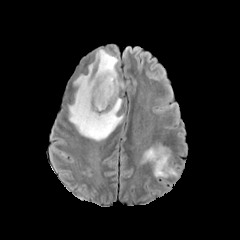
FLAIR MR image.
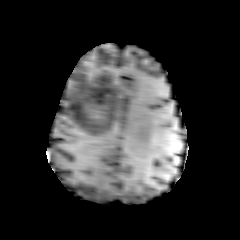
T1-weighted MRI.
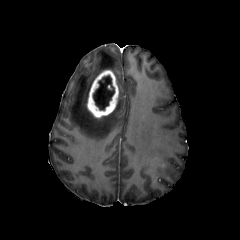
Post-contrast T1-weighted MRI of the same slice.
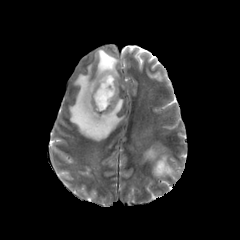
T2-weighted MR of the same slice.
240x240 px
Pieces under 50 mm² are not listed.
The necrotic tumor core appears at bbox=[93, 76, 114, 110]. The largest enhancing tumor region appears at bbox=[87, 70, 118, 118]. 2 peritumoral edema regions appear at bbox=[69, 49, 124, 140]; bbox=[142, 145, 177, 177].